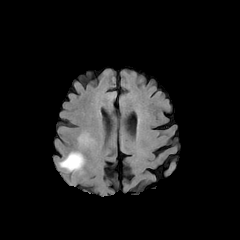
FLAIR MRI.
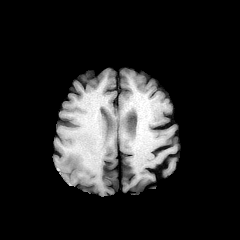
T1-weighted MR.
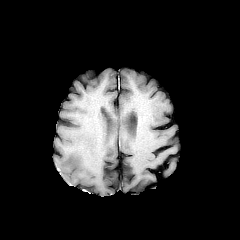
Post-contrast T1-weighted magnetic resonance of the same slice.
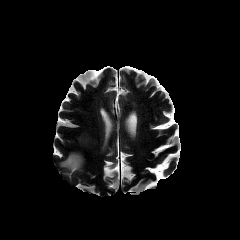
Same slice, T2-weighted MRI.
Axial plane | Image size 240x240 | Head
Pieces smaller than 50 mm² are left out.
peritumoral_edema:
  - <bbox>59, 152, 84, 171</bbox>